FLAIR magnetic resonance.
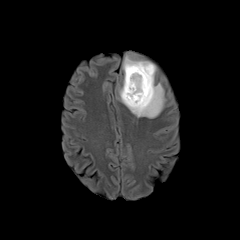
T1-weighted magnetic resonance.
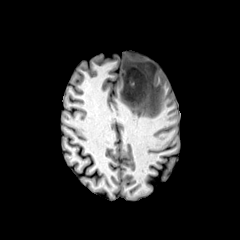
Post-contrast T1-weighted MR.
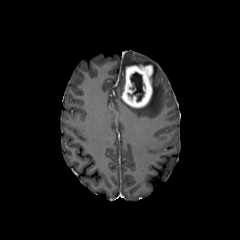
T2-weighted magnetic resonance.
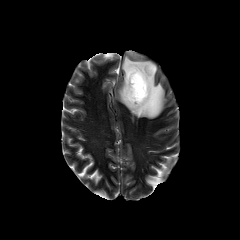
necrotic tumor core at (128,72,144,101)
enhancing tumor at (121,64,153,108)
peritumoral edema at (119,54,165,118)